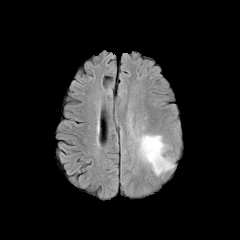
FLAIR MR.
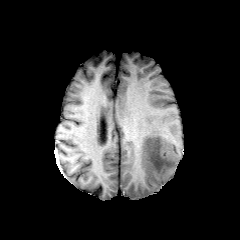
T1-weighted MRI.
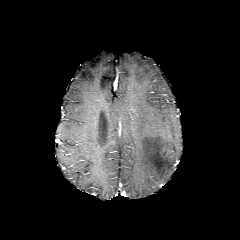
Post-contrast T1-weighted MR.
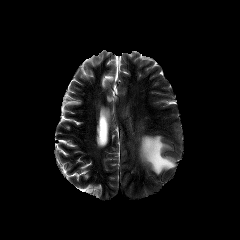
T2-weighted magnetic resonance of the same slice.
Head, 240x240 px
Annotated regions:
• peritumoral edema: <box>139,135,173,175</box>